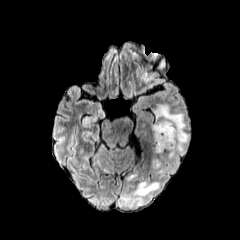
FLAIR magnetic resonance.
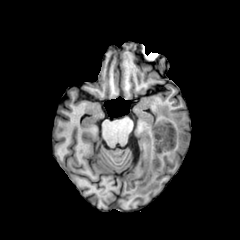
T1-weighted MRI of the same slice.
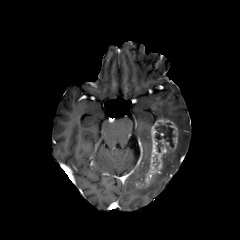
Post-contrast T1-weighted MRI of the same slice.
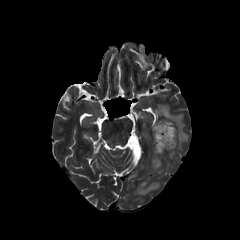
T2-weighted magnetic resonance of the same slice.
Head; Axial slice
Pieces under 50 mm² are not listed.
The largest enhancing tumor region is at x1=136 y1=118 x2=178 y2=187. The 2 largest peritumoral edema regions are located at x1=134 y1=182 x2=159 y2=195, x1=155 y1=104 x2=189 y2=164. The largest necrotic tumor core region is at x1=155 y1=125 x2=173 y2=147.